Slice 73 of 155, 240x240 px, Axial plane
FLAIR MR.
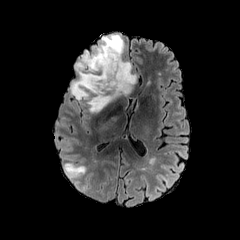
T1-weighted MR image.
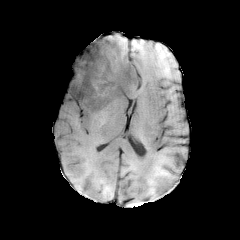
Post-contrast T1-weighted MR image.
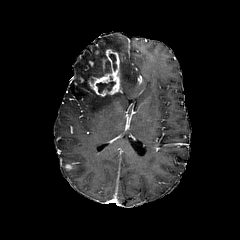
T2-weighted MR.
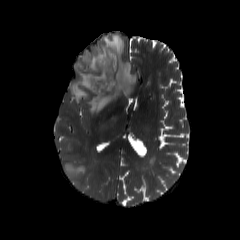
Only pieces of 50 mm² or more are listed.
necrotic tumor core at l=110, t=54, r=116, b=70; l=96, t=81, r=115, b=92; l=82, t=59, r=111, b=82
enhancing tumor at l=74, t=49, r=122, b=96
peritumoral edema at l=70, t=34, r=136, b=113; l=63, t=163, r=85, b=177